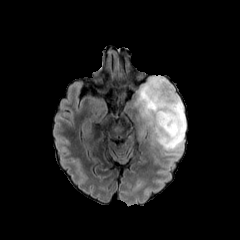
FLAIR MR image.
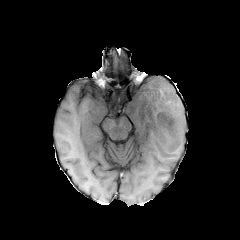
T1-weighted MR image.
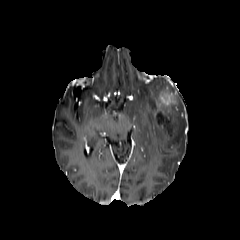
Post-contrast T1-weighted MR image.
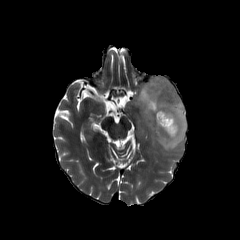
T2-weighted MR of the same slice.
Brain
enhancing tumor: {"x1": 154, "y1": 109, "x2": 175, "y2": 136}, {"x1": 156, "y1": 93, "x2": 176, "y2": 106} | necrotic tumor core: {"x1": 156, "y1": 111, "x2": 172, "y2": 134} | peritumoral edema: {"x1": 133, "y1": 75, "x2": 186, "y2": 152}